Slice index 48; Image size 240x240; Axial slice; Image width 240 mm
FLAIR MR image.
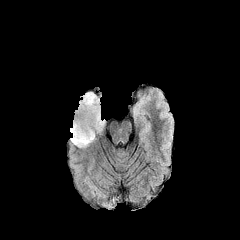
T1-weighted MRI.
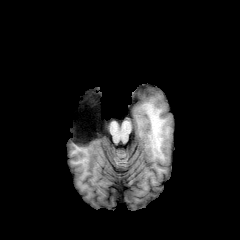
Post-contrast T1-weighted magnetic resonance.
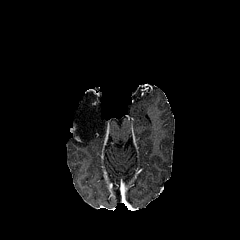
T2-weighted MR.
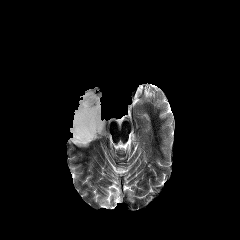
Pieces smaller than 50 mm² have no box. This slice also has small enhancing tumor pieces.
Annotated regions:
• peritumoral edema: <bbox>70, 92, 105, 147</bbox>